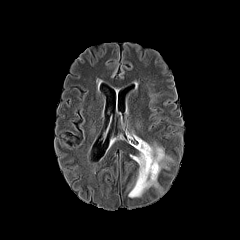
FLAIR MRI.
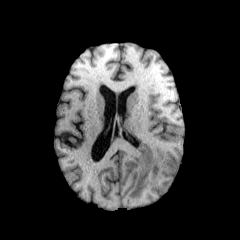
Same slice, T1-weighted MR image.
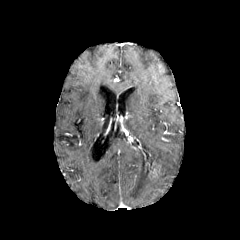
Post-contrast T1-weighted magnetic resonance of the same slice.
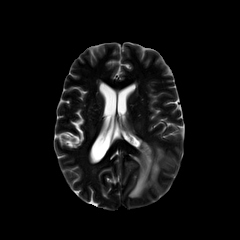
T2-weighted MR.
Brain.
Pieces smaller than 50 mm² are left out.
enhancing tumor: bounding box (145, 161, 161, 180)
peritumoral edema: bounding box (128, 137, 173, 197)